FLAIR magnetic resonance.
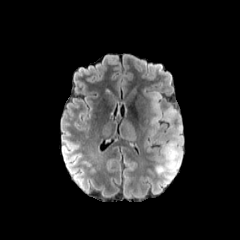
T1-weighted magnetic resonance.
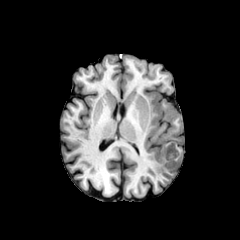
Post-contrast T1-weighted MR.
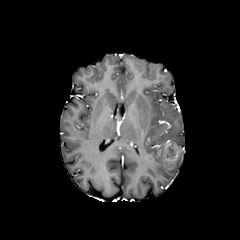
T2-weighted magnetic resonance.
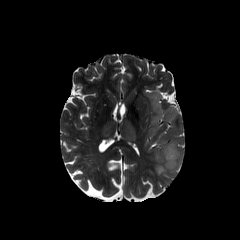
Head
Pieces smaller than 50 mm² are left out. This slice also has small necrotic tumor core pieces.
• peritumoral edema: 154 107 183 178, 140 88 160 126
• enhancing tumor: 163 143 179 169